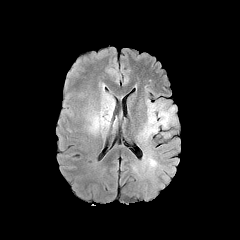
FLAIR magnetic resonance.
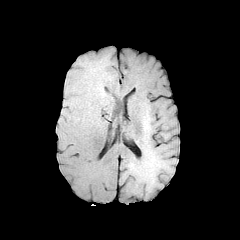
Same slice, T1-weighted MR.
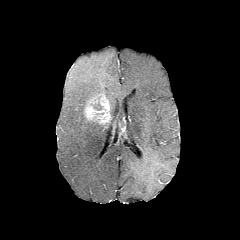
Post-contrast T1-weighted MRI.
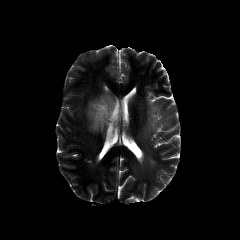
T2-weighted MR.
Brain. 240x240 px.
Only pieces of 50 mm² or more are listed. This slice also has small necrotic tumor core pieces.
* peritumoral edema: 134:88:179:179, 88:92:117:132, 173:138:180:149, 89:98:100:109
* enhancing tumor: 85:97:110:123